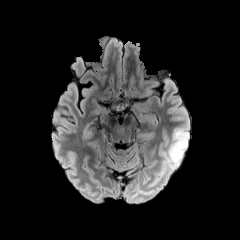
FLAIR MR.
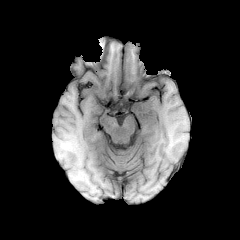
T1-weighted MRI.
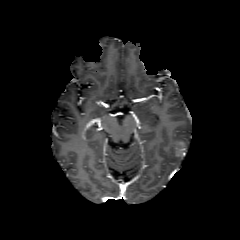
Post-contrast T1-weighted magnetic resonance.
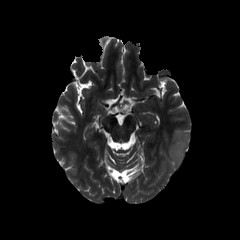
T2-weighted MRI.
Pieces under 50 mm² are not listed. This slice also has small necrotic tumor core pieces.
{
  "peritumoral_edema": [
    "<bbox>161, 124, 189, 173</bbox>"
  ],
  "enhancing_tumor": [
    "<bbox>174, 142, 185, 156</bbox>"
  ]
}